Axial plane; Image size 240x240; Image width 240 mm; Head
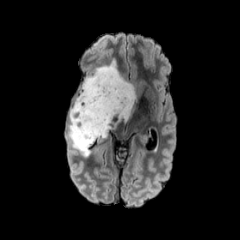
FLAIR MRI.
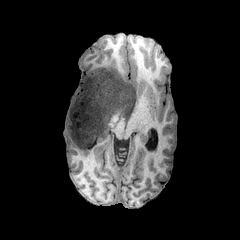
T1-weighted MRI.
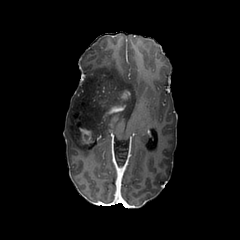
Post-contrast T1-weighted MR image.
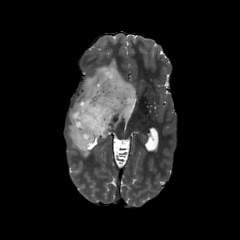
T2-weighted magnetic resonance.
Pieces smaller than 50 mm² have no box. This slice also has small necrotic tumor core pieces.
{"enhancing_tumor": ["<box>121,90,130,99</box>", "<box>106,105,125,113</box>", "<box>69,109,81,124</box>", "<box>77,125,94,143</box>"], "peritumoral_edema": ["<box>67,116,92,156</box>", "<box>70,59,136,139</box>"]}